FLAIR MR image.
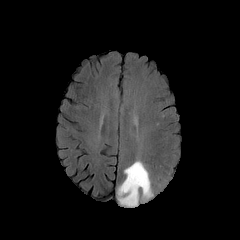
T1-weighted magnetic resonance.
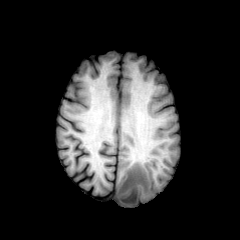
Post-contrast T1-weighted MRI.
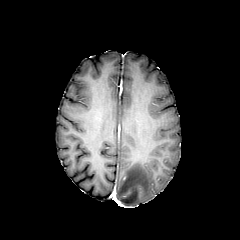
T2-weighted magnetic resonance.
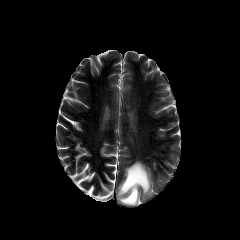
Brain
{
  "peritumoral_edema": [
    "<box>117,161,152,206</box>"
  ]
}